FLAIR MR.
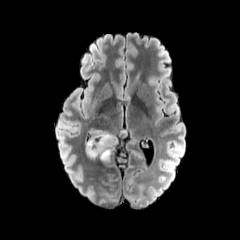
T1-weighted MR image.
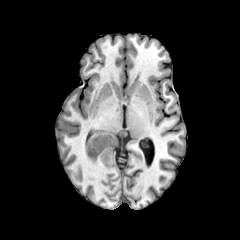
Post-contrast T1-weighted MR.
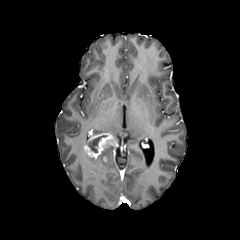
T2-weighted MR image.
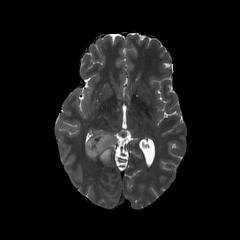
Axial view, Head
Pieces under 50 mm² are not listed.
peritumoral edema: rect(106, 147, 113, 162); rect(90, 128, 118, 143) | enhancing tumor: rect(84, 132, 116, 161) | necrotic tumor core: rect(88, 135, 106, 152)